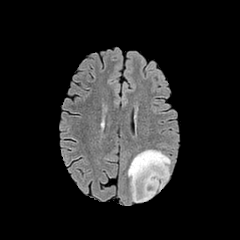
FLAIR magnetic resonance.
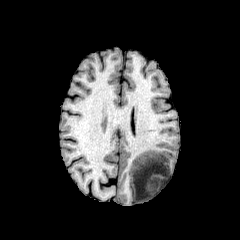
T1-weighted magnetic resonance.
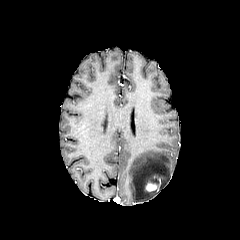
Post-contrast T1-weighted MR.
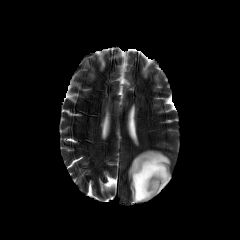
T2-weighted MR image of the same slice.
Segmented structures:
* enhancing tumor: [144, 182, 159, 191]
* peritumoral edema: [128, 150, 170, 202]